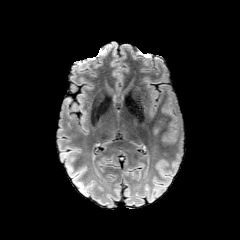
FLAIR MR image.
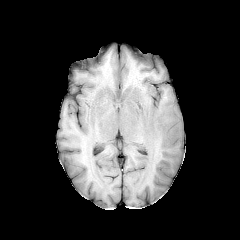
T1-weighted MR image of the same slice.
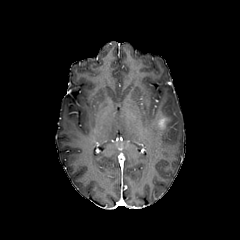
Post-contrast T1-weighted MR image.
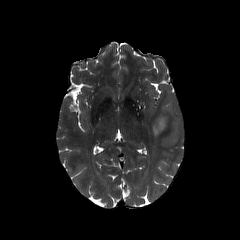
T2-weighted MRI.
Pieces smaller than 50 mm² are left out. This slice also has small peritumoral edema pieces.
enhancing_tumor:
  - box=[157, 117, 165, 129]